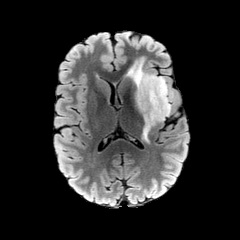
FLAIR magnetic resonance.
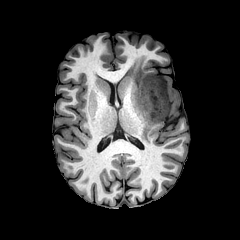
T1-weighted MR image.
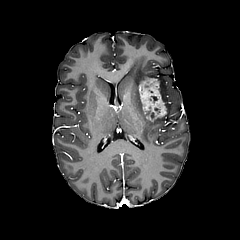
Post-contrast T1-weighted MRI.
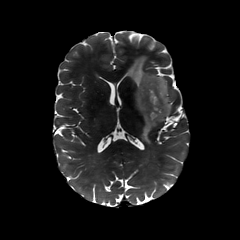
T2-weighted MR of the same slice.
Head
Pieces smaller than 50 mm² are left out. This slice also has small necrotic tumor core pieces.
enhancing tumor at l=138, t=77, r=166, b=121
peritumoral edema at l=126, t=58, r=171, b=142